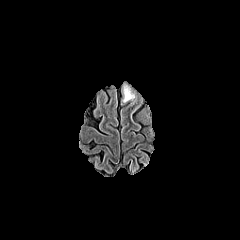
FLAIR MR image.
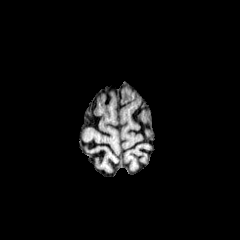
T1-weighted MR image of the same slice.
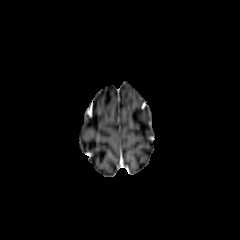
Post-contrast T1-weighted MR.
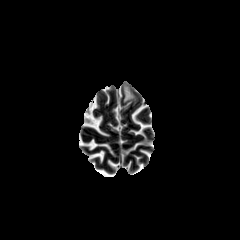
Same slice, T2-weighted MRI.
Head
peritumoral edema = left=123, top=86, right=134, bottom=102